Brain; Axial slice
FLAIR MRI.
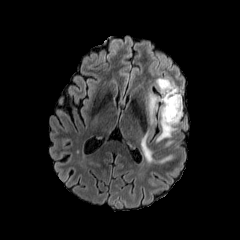
T1-weighted MR image.
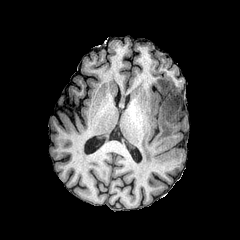
Post-contrast T1-weighted MRI.
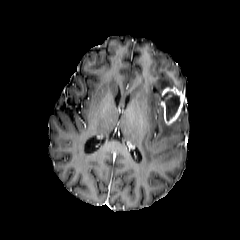
T2-weighted magnetic resonance.
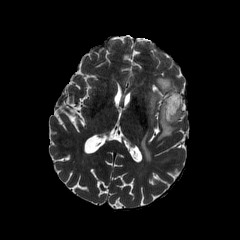
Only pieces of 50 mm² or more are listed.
The largest enhancing tumor region is located at <box>161,86,183,124</box>. The necrotic tumor core is at <box>163,91,180,120</box>. The 4 largest peritumoral edema regions are located at <box>141,132,153,162</box>, <box>156,78,176,92</box>, <box>157,107,182,141</box>, <box>148,94,160,122</box>.